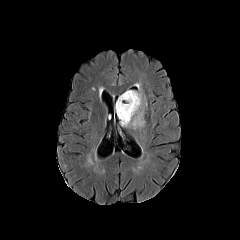
FLAIR magnetic resonance.
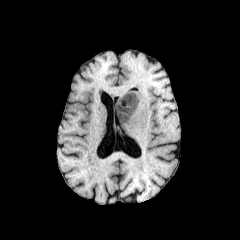
T1-weighted MR.
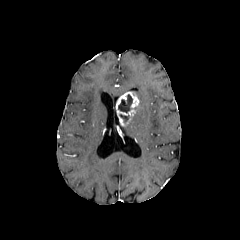
Same slice, post-contrast T1-weighted MR image.
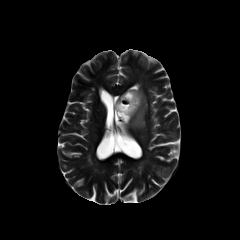
Same slice, T2-weighted magnetic resonance.
Axial slice | Head
peritumoral edema — x1=126, y1=83, x2=145, y2=128
enhancing tumor — x1=115, y1=91, x2=139, y2=126
necrotic tumor core — x1=119, y1=114, x2=129, y2=123; x1=118, y1=94, x2=132, y2=112